Image width 240 mm, 1.00 mm slice spacing. Head. Axial slice.
FLAIR magnetic resonance.
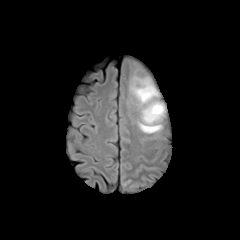
T1-weighted MR.
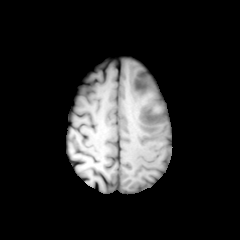
Post-contrast T1-weighted MR image.
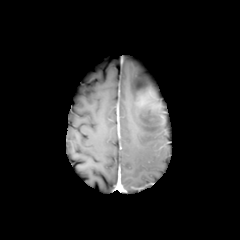
T2-weighted MR image.
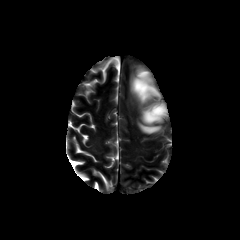
peritumoral edema = 130, 68, 165, 133